Axial slice, Head, Image covers 240 mm x 240 mm
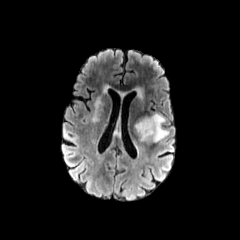
FLAIR magnetic resonance.
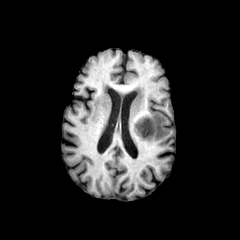
T1-weighted MR image.
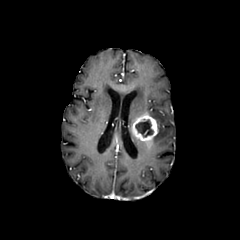
Post-contrast T1-weighted MR.
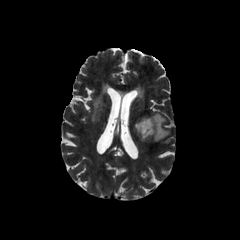
T2-weighted MR image of the same slice.
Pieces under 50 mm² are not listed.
Segmented structures:
- necrotic tumor core: 135:119:153:137
- enhancing tumor: 132:112:158:144
- peritumoral edema: 151:113:169:141